FLAIR magnetic resonance.
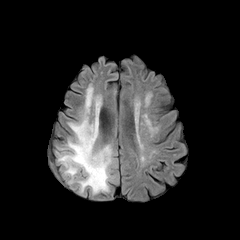
T1-weighted MR image.
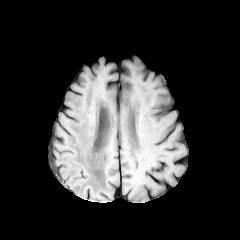
Post-contrast T1-weighted MR image.
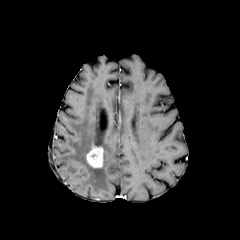
T2-weighted MRI.
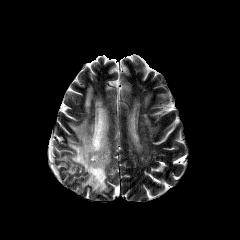
Head
peritumoral edema at <bbox>58, 85, 112, 192</bbox>
enhancing tumor at <bbox>86, 145, 103, 168</bbox>